Axial plane | 240x240 px | Brain
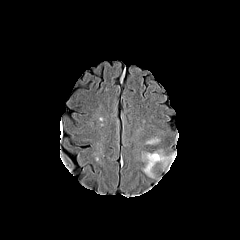
FLAIR MR image.
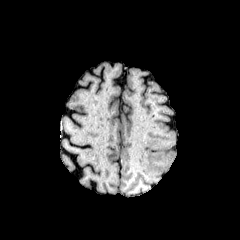
T1-weighted MRI.
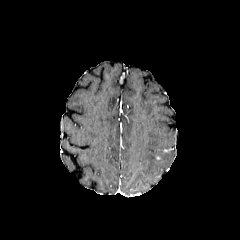
Post-contrast T1-weighted MR image of the same slice.
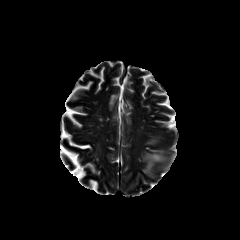
T2-weighted MR of the same slice.
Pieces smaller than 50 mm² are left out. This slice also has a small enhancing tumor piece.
Findings:
* peritumoral edema: x1=143, y1=153, x2=174, y2=176